Image covers 240 mm x 240 mm, Image size 240x240, Slice index 112
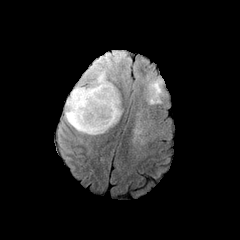
FLAIR MRI.
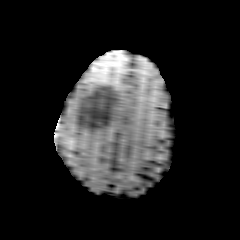
T1-weighted magnetic resonance.
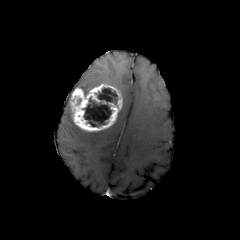
Post-contrast T1-weighted magnetic resonance.
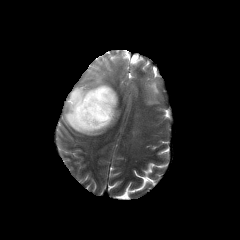
T2-weighted MR image of the same slice.
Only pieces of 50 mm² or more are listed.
2 necrotic tumor core regions appear at 84,98,111,126; 98,88,117,101. The enhancing tumor appears at 70,83,122,131. The 2 largest peritumoral edema regions are bounded by 76,63,107,93; 64,97,107,135.